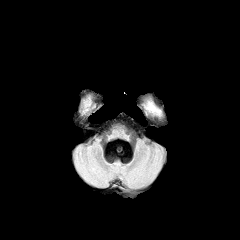
FLAIR magnetic resonance.
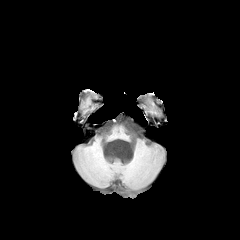
T1-weighted MR image.
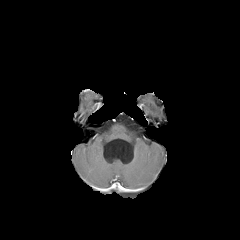
Post-contrast T1-weighted MR image.
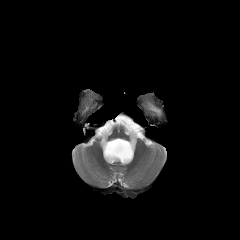
T2-weighted MR image.
Brain.
peritumoral_edema:
  - x1=147, y1=103, x2=160, y2=114